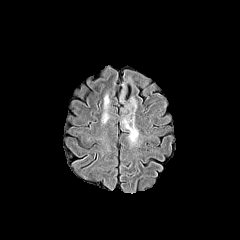
FLAIR MR.
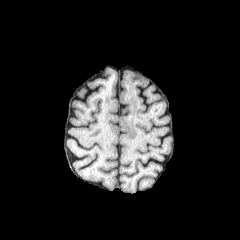
T1-weighted MR image of the same slice.
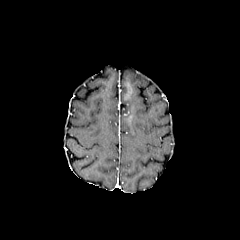
Same slice, post-contrast T1-weighted MR image.
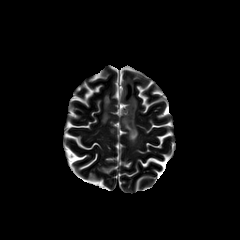
T2-weighted MR of the same slice.
peritumoral edema — (101,94,110,123), (120,76,138,144)